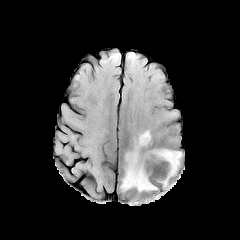
FLAIR MR.
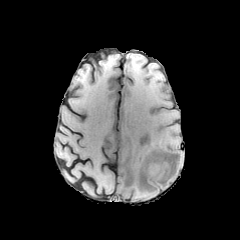
T1-weighted MR.
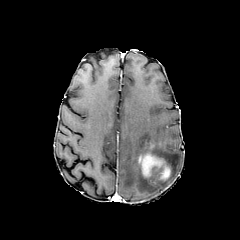
Post-contrast T1-weighted MR.
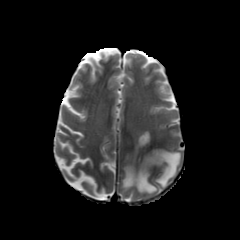
T2-weighted MRI of the same slice.
Axial plane. Brain.
enhancing tumor: [x1=139, y1=154, x2=170, y2=180]
peritumoral edema: [x1=121, y1=131, x2=157, y2=191], [x1=152, y1=149, x2=181, y2=187]